Head; Slice 73 of 155
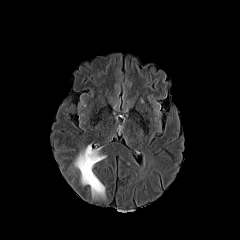
FLAIR magnetic resonance.
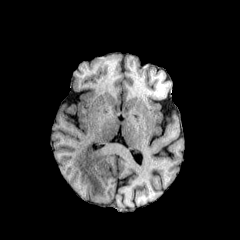
T1-weighted MRI.
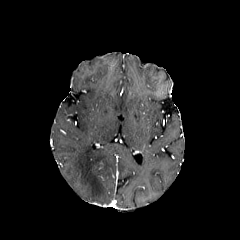
Post-contrast T1-weighted magnetic resonance.
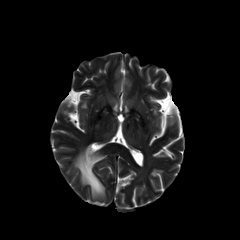
Same slice, T2-weighted MR.
peritumoral edema = 74 145 106 198